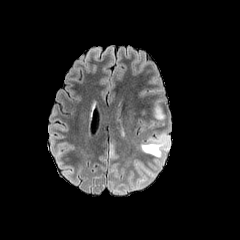
FLAIR magnetic resonance.
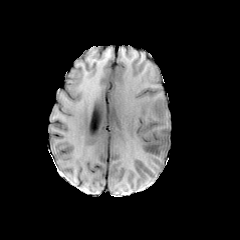
T1-weighted MR image.
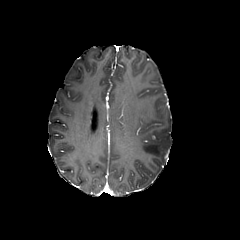
Post-contrast T1-weighted magnetic resonance.
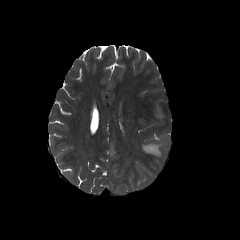
T2-weighted magnetic resonance of the same slice.
Image size 240x240, Axial plane, Head
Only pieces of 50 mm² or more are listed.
peritumoral edema = bbox=[140, 131, 170, 170]; bbox=[154, 104, 165, 119]